FLAIR MR.
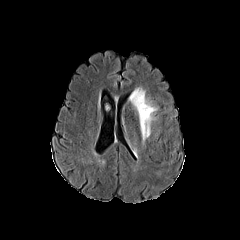
T1-weighted MR image.
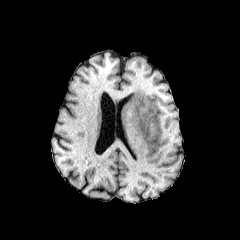
Post-contrast T1-weighted MRI.
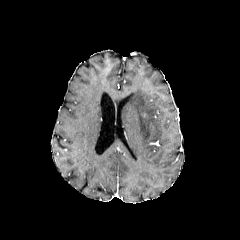
T2-weighted MR.
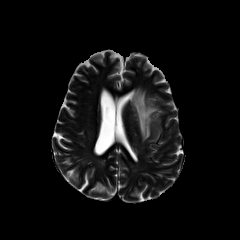
240x240 | Head | Axial view
peritumoral edema: [129,88,157,142]